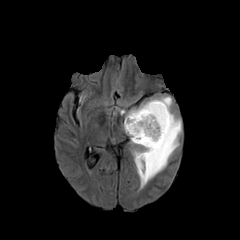
FLAIR MR.
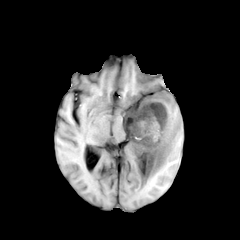
T1-weighted MRI.
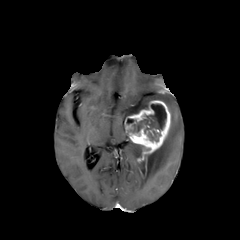
Post-contrast T1-weighted MR.
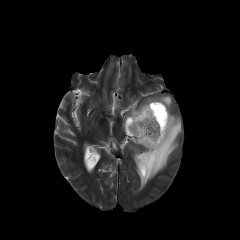
T2-weighted MRI.
Image size 240x240; Brain
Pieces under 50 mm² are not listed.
<segmentation>
  <enhancing_tumor>(124, 100, 170, 162)</enhancing_tumor>
  <peritumoral_edema>(126, 95, 181, 188)</peritumoral_edema>
  <necrotic_tumor_core>(137, 104, 166, 131)</necrotic_tumor_core>
</segmentation>